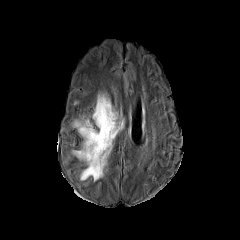
FLAIR MR.
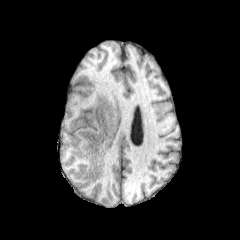
T1-weighted magnetic resonance of the same slice.
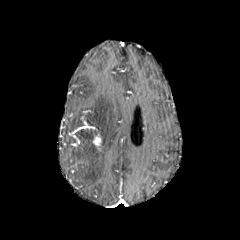
Post-contrast T1-weighted magnetic resonance of the same slice.
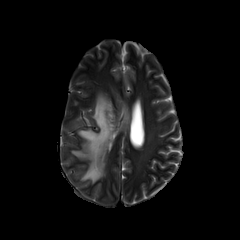
Same slice, T2-weighted MR.
Brain
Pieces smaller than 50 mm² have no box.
The enhancing tumor is at l=93, t=134, r=101, b=149. The largest peritumoral edema region appears at l=72, t=93, r=123, b=181.